FLAIR MR.
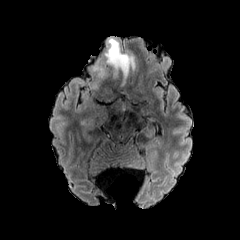
T1-weighted MR.
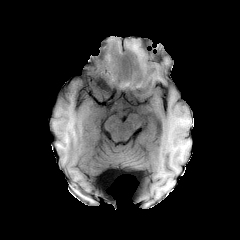
Post-contrast T1-weighted MR.
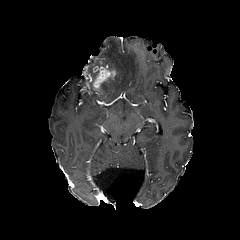
T2-weighted MR image.
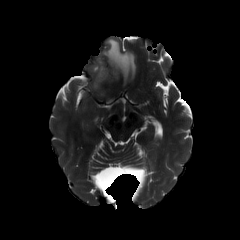
240x240 px, Axial plane
peritumoral edema: rect(93, 38, 135, 79)
enhancing tumor: rect(93, 65, 115, 89)